FLAIR MR.
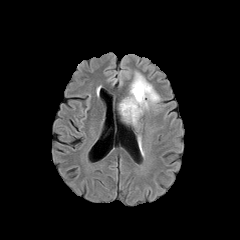
T1-weighted MR image.
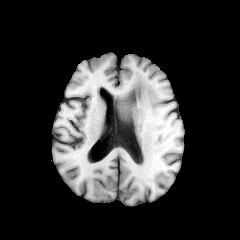
Post-contrast T1-weighted MR.
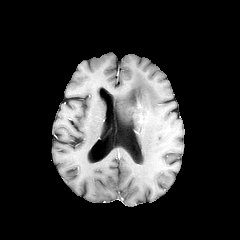
T2-weighted MRI.
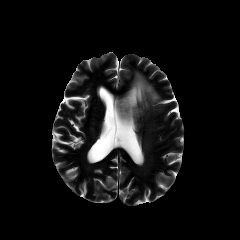
240x240 px. Brain.
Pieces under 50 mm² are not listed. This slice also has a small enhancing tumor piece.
peritumoral edema at left=120, top=72, right=159, bottom=125